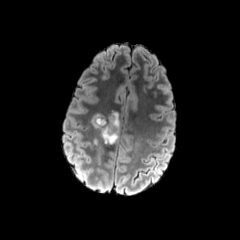
FLAIR MR.
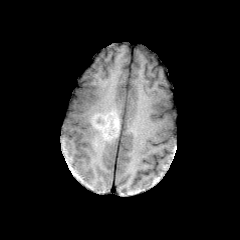
T1-weighted magnetic resonance.
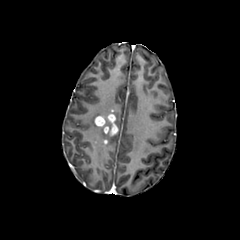
Same slice, post-contrast T1-weighted MR.
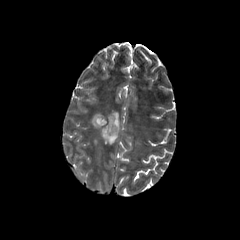
T2-weighted MR of the same slice.
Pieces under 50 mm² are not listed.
peritumoral edema: <bbox>134, 142, 141, 150</bbox>, <bbox>93, 139, 102, 164</bbox>, <bbox>91, 111, 119, 144</bbox>
enhancing tumor: <bbox>95, 113, 118, 136</bbox>